FLAIR MR image.
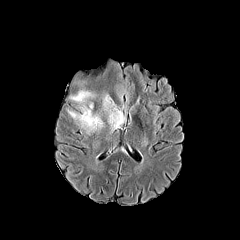
T1-weighted magnetic resonance.
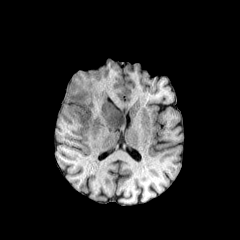
Post-contrast T1-weighted MRI.
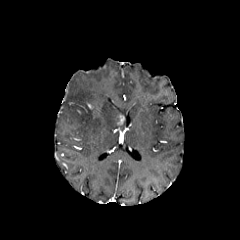
T2-weighted MRI.
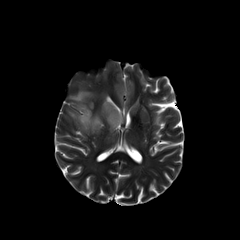
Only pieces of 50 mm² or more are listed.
The 3 largest peritumoral edema regions appear at (108,109,122,128), (70,90,96,102), (68,107,102,131). The largest enhancing tumor region appears at (116,114,124,125).